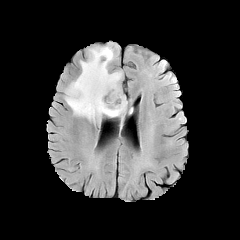
FLAIR MR image.
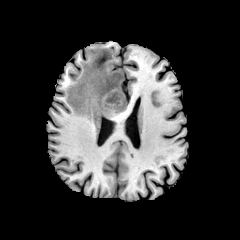
Same slice, T1-weighted MR image.
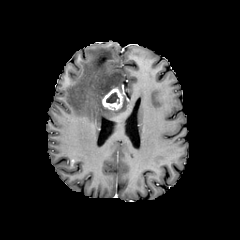
Post-contrast T1-weighted magnetic resonance.
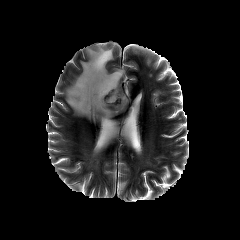
Same slice, T2-weighted MRI.
Axial slice, Brain
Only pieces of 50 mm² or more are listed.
The peritumoral edema is located at (x1=65, y1=46, x2=127, y2=122). The largest necrotic tumor core region is at (x1=106, y1=92, x2=118, y2=103). The enhancing tumor lies within (x1=102, y1=87, x2=124, y2=109).